FLAIR MR image.
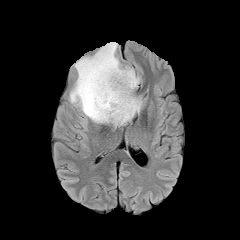
T1-weighted magnetic resonance.
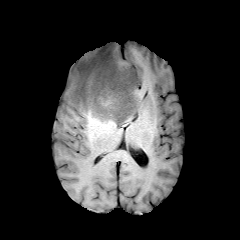
Post-contrast T1-weighted MRI.
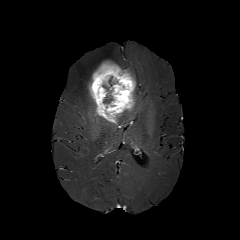
T2-weighted magnetic resonance.
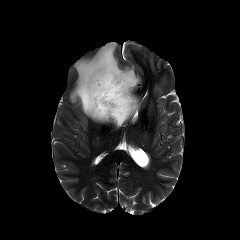
Head.
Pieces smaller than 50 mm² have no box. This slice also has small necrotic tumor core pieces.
peritumoral edema — box(69, 42, 139, 123); box(114, 95, 142, 126)
enhancing tumor — box(88, 60, 136, 124)